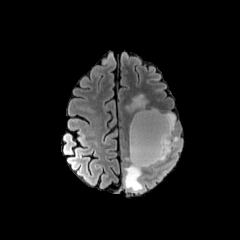
FLAIR MRI.
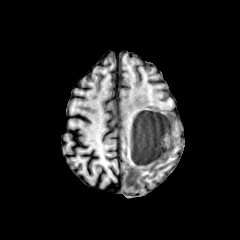
T1-weighted MR image of the same slice.
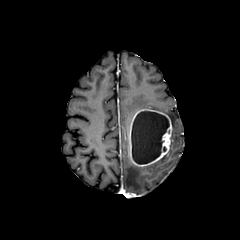
Post-contrast T1-weighted MRI.
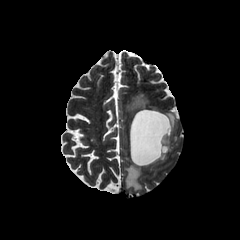
T2-weighted MRI.
Brain. Axial view.
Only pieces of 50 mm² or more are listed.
Segmented structures:
• necrotic tumor core: bbox(131, 111, 169, 164)
• peritumoral edema: bbox(124, 162, 144, 191); bbox(166, 113, 175, 130); bbox(125, 92, 150, 112)
• enhancing tumor: bbox(128, 109, 172, 166)